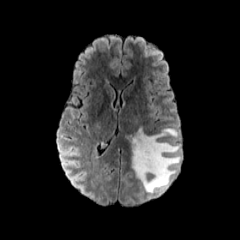
FLAIR MR.
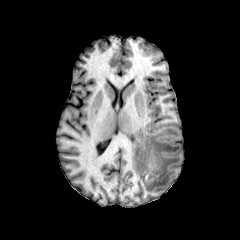
T1-weighted magnetic resonance of the same slice.
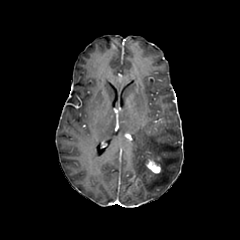
Post-contrast T1-weighted MRI.
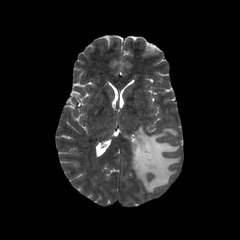
T2-weighted magnetic resonance of the same slice.
Axial plane
• peritumoral edema: (125,128,181,193)
• enhancing tumor: (142,152,162,174)